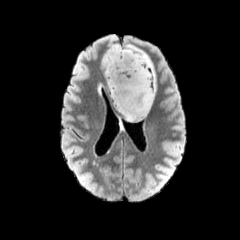
FLAIR MRI.
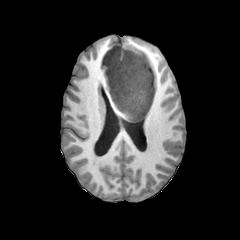
Same slice, T1-weighted magnetic resonance.
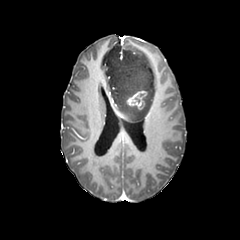
Post-contrast T1-weighted MRI.
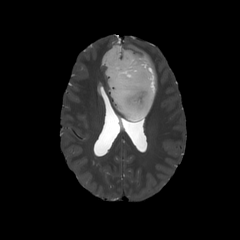
T2-weighted MRI.
Axial slice
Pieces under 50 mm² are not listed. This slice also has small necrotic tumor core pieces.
enhancing tumor — 126:90:147:109
peritumoral edema — 103:45:155:121